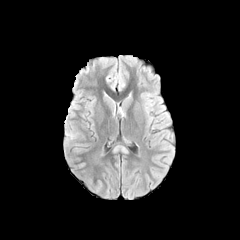
FLAIR MRI.
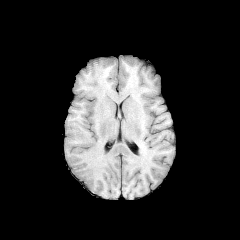
T1-weighted MR image.
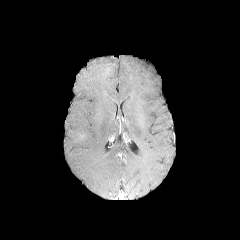
Same slice, post-contrast T1-weighted magnetic resonance.
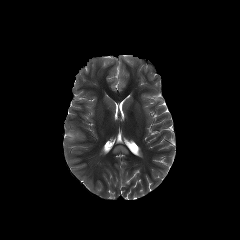
T2-weighted MR.
Head
Segmented structures:
* peritumoral edema: (66,132,79,139)